Axial view | Image width 240 mm | Slice 112/155 | Head
FLAIR MR.
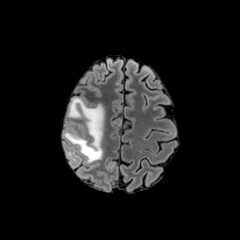
T1-weighted MRI.
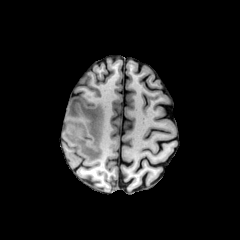
Post-contrast T1-weighted MRI.
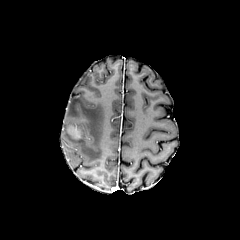
T2-weighted magnetic resonance.
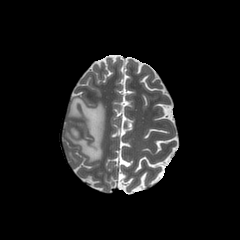
enhancing tumor — left=67, top=126, right=80, bottom=139
peritumoral edema — left=66, top=151, right=77, bottom=163; left=64, top=97, right=104, bottom=162